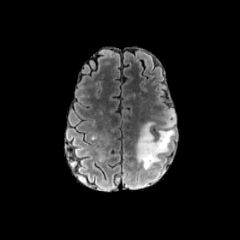
FLAIR MR image.
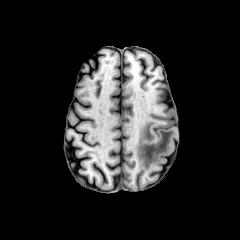
T1-weighted MRI.
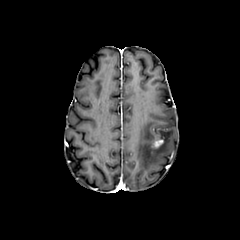
Post-contrast T1-weighted MRI.
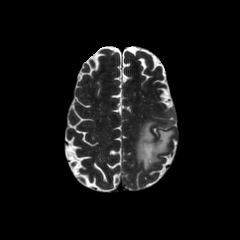
T2-weighted MR.
Head; Axial slice
The enhancing tumor is located at bbox(150, 138, 163, 149). The peritumoral edema is at bbox(135, 109, 175, 169).